FLAIR MR image.
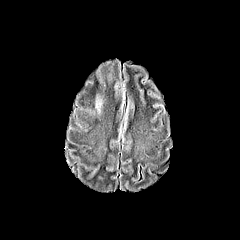
T1-weighted magnetic resonance.
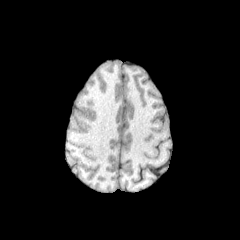
Post-contrast T1-weighted MR.
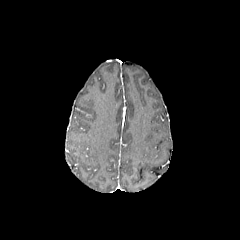
T2-weighted MR image.
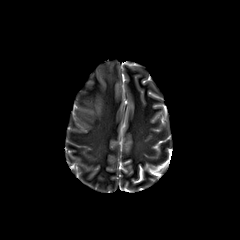
Axial plane; Head
peritumoral edema = bbox(95, 92, 102, 113)